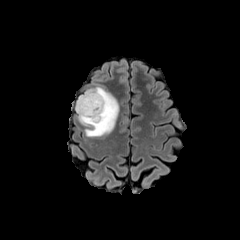
FLAIR magnetic resonance.
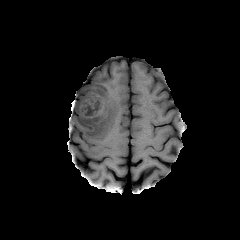
Same slice, T1-weighted MR.
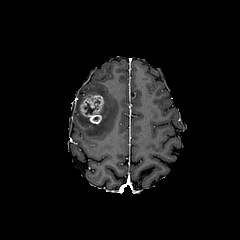
Post-contrast T1-weighted MR image.
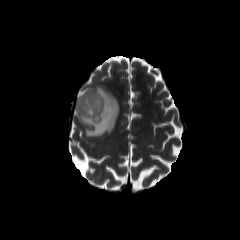
Same slice, T2-weighted MR.
Head. Axial view.
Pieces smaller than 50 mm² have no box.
The peritumoral edema is located at (75,86,119,136). The enhancing tumor appears at (80,94,104,124). The largest necrotic tumor core region is at (84,103,97,114).